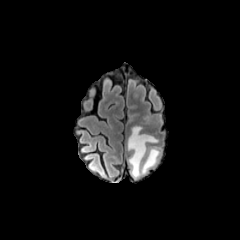
FLAIR MR image.
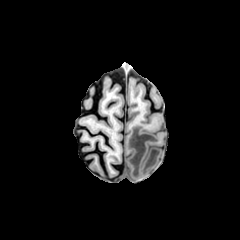
Same slice, T1-weighted MRI.
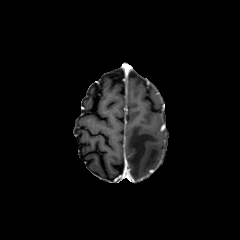
Post-contrast T1-weighted MR.
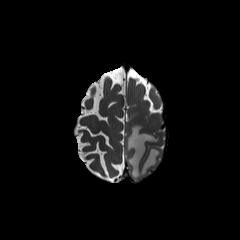
Same slice, T2-weighted magnetic resonance.
Head
peritumoral edema = {"x1": 127, "y1": 126, "x2": 161, "y2": 179}